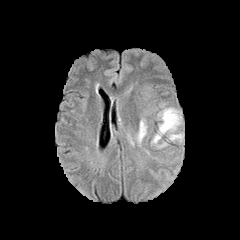
FLAIR MRI.
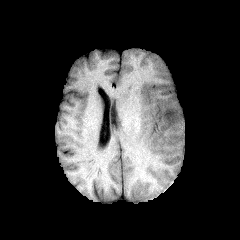
Same slice, T1-weighted MRI.
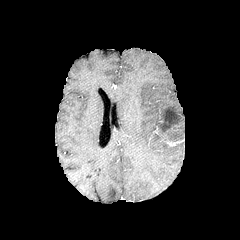
Post-contrast T1-weighted MR of the same slice.
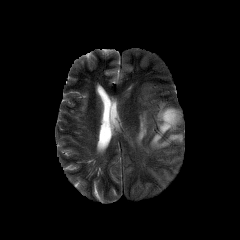
Same slice, T2-weighted MRI.
Image size 240x240, Head, Axial plane
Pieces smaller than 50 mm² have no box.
peritumoral edema: bounding box (136,118,146,144), (151,107,181,147), (169,133,182,140)